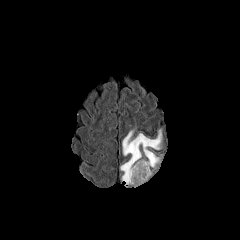
FLAIR MR.
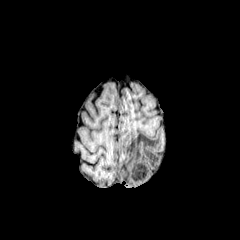
T1-weighted MR image.
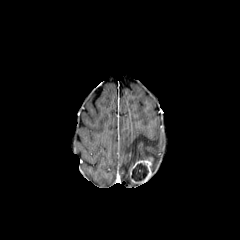
Post-contrast T1-weighted MRI of the same slice.
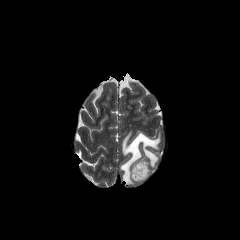
T2-weighted MRI.
Head; Axial plane; 240x240
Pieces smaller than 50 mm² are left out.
• necrotic tumor core: (left=131, top=163, right=148, bottom=181)
• enhancing tumor: (left=129, top=159, right=151, bottom=183)
• peritumoral edema: (left=120, top=128, right=163, bottom=185)